Brain
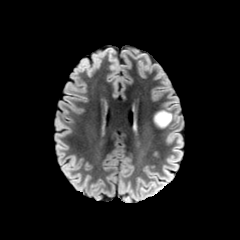
FLAIR MR.
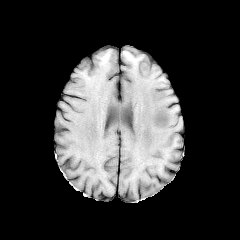
T1-weighted MRI.
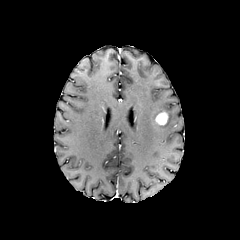
Post-contrast T1-weighted MR image of the same slice.
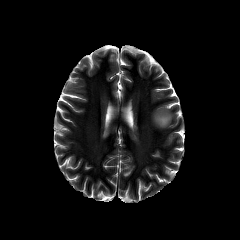
Same slice, T2-weighted MR.
Findings:
* enhancing tumor: box(155, 111, 168, 125)
* peritumoral edema: box(153, 109, 176, 128)